Image width 240 mm, Axial view, Slice 90 of 155, Head
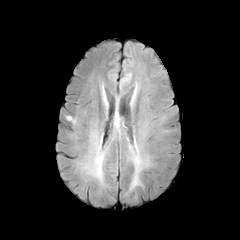
FLAIR magnetic resonance.
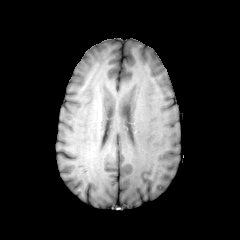
T1-weighted MR image.
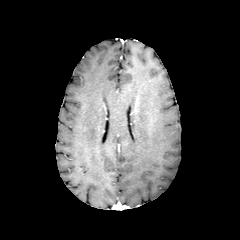
Post-contrast T1-weighted MRI of the same slice.
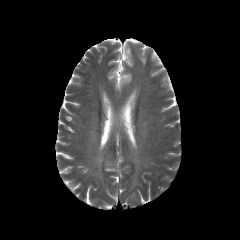
T2-weighted MRI.
peritumoral edema — box=[95, 155, 102, 177]; box=[130, 156, 141, 188]